Axial slice. Slice 71 of 155.
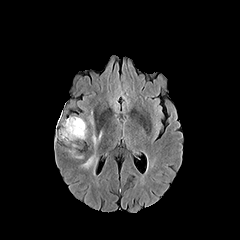
FLAIR MR.
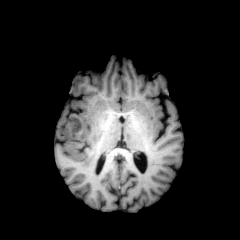
T1-weighted MRI.
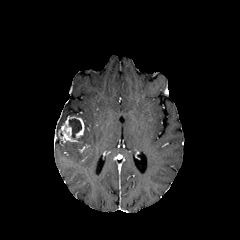
Post-contrast T1-weighted MRI of the same slice.
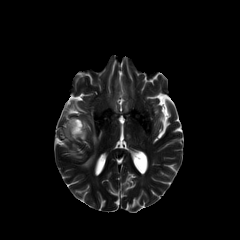
T2-weighted magnetic resonance.
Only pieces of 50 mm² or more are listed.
necrotic tumor core: x1=69, y1=119, x2=81, y2=137 | enhancing tumor: x1=59, y1=116, x2=84, y2=141 | peritumoral edema: x1=83, y1=156, x2=94, y2=167